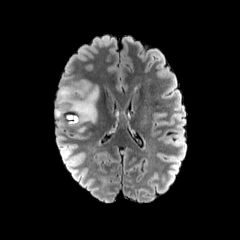
FLAIR MR image.
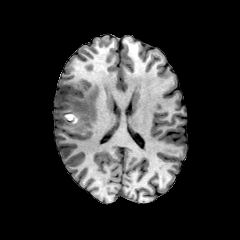
T1-weighted MR of the same slice.
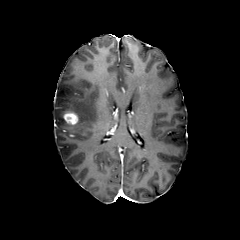
Post-contrast T1-weighted MR of the same slice.
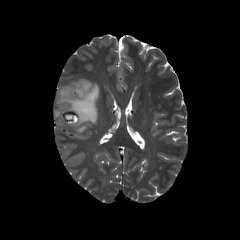
T2-weighted MR.
Brain; 240x240 px
The enhancing tumor is located at <bbox>62, 110, 78, 124</bbox>. The peritumoral edema is bounded by <bbox>54, 78, 99, 131</bbox>.